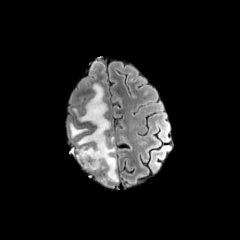
FLAIR magnetic resonance.
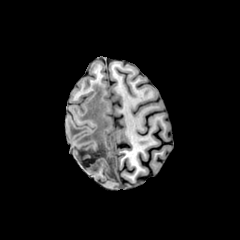
Same slice, T1-weighted MR image.
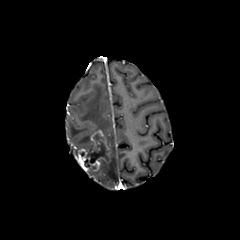
Same slice, post-contrast T1-weighted MRI.
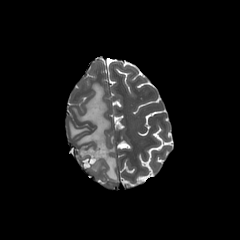
T2-weighted MR.
Axial plane, Brain
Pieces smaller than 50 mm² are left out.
{
  "necrotic_tumor_core": [
    "84,134,108,167"
  ],
  "enhancing_tumor": [
    "75,129,110,171"
  ],
  "peritumoral_edema": [
    "69,123,87,137",
    "76,83,110,148",
    "89,136,118,181"
  ]
}